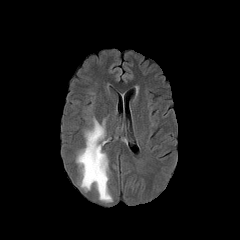
FLAIR magnetic resonance.
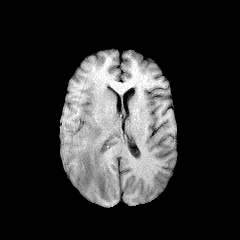
Same slice, T1-weighted MR.
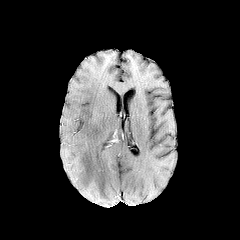
Post-contrast T1-weighted MR image.
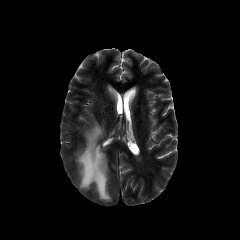
T2-weighted MRI.
Axial slice; Head
The peritumoral edema is bounded by <box>76,116,112,202</box>.